Brain
FLAIR MRI.
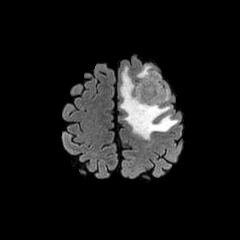
T1-weighted MRI.
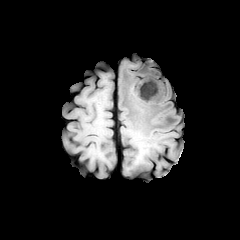
Post-contrast T1-weighted MRI.
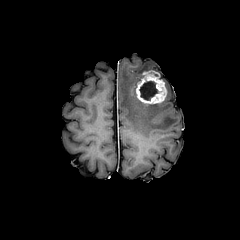
T2-weighted MR image.
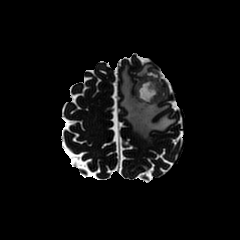
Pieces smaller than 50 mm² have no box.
enhancing tumor: left=136, top=71, right=166, bottom=105
peritumoral edema: left=120, top=66, right=177, bottom=139; left=136, top=65, right=152, bottom=81
necrotic tumor core: left=139, top=81, right=157, bottom=100